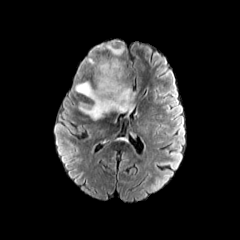
FLAIR MR image.
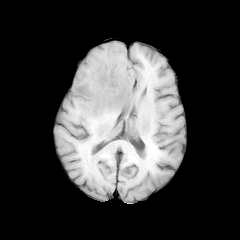
T1-weighted MR image.
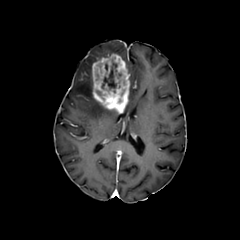
Post-contrast T1-weighted magnetic resonance of the same slice.
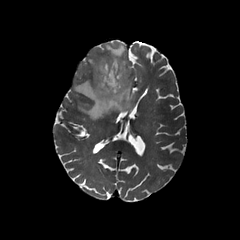
T2-weighted MR.
Head | Axial slice | 240x240
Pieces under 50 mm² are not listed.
Findings:
- peritumoral edema: 103,43,124,56; 121,82,136,113; 74,80,113,119
- enhancing tumor: 91,53,129,113
- necrotic tumor core: 95,62,126,103